FLAIR magnetic resonance.
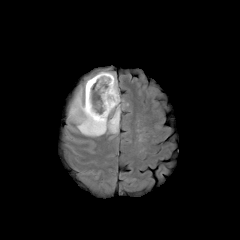
T1-weighted MR image.
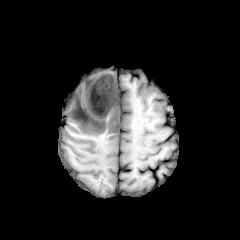
Post-contrast T1-weighted MR.
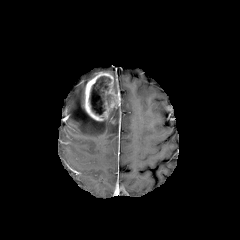
T2-weighted MR.
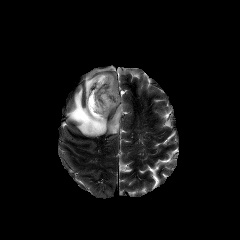
Brain. 240x240.
The peritumoral edema appears at x1=67, y1=68, x2=124, y2=136. The necrotic tumor core is located at x1=89, y1=86, x2=105, y2=115. The enhancing tumor is located at x1=84, y1=72, x2=120, y2=121.